FLAIR MR.
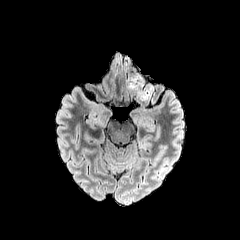
T1-weighted MR.
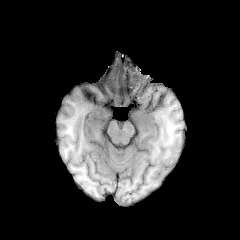
Post-contrast T1-weighted MR.
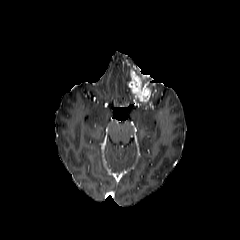
T2-weighted MR.
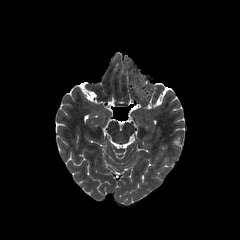
Axial plane. Head.
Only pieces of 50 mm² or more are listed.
enhancing tumor: 128:71:150:102
peritumoral edema: 135:72:153:95